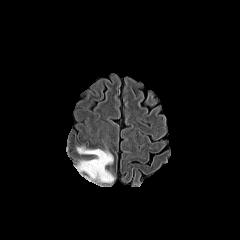
FLAIR MR image.
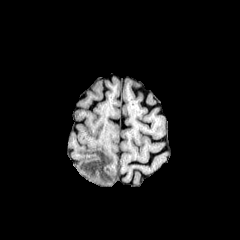
Same slice, T1-weighted MR.
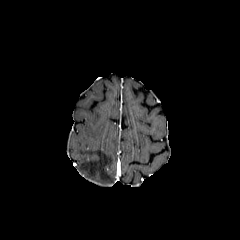
Post-contrast T1-weighted MR of the same slice.
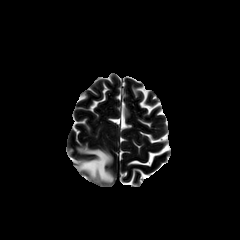
T2-weighted magnetic resonance.
240x240 px; Brain
The peritumoral edema lies within bbox(76, 147, 114, 183).